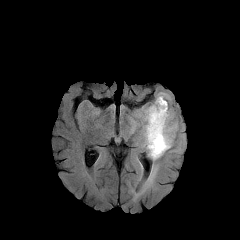
FLAIR MR image.
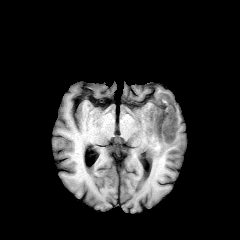
T1-weighted magnetic resonance.
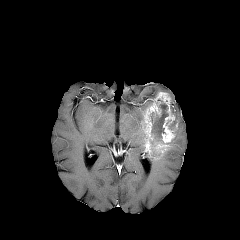
Post-contrast T1-weighted MR.
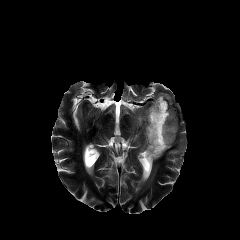
T2-weighted MR of the same slice.
Axial plane | 240x240 px
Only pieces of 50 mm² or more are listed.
necrotic tumor core: box(151, 103, 168, 146) | peritumoral edema: box(147, 156, 161, 181); box(132, 105, 147, 151) | enhancing tumor: box(143, 92, 177, 157)